Axial view; Image width 240 mm, 1.00 mm slice spacing; Image size 240x240
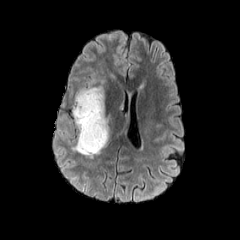
FLAIR MR image.
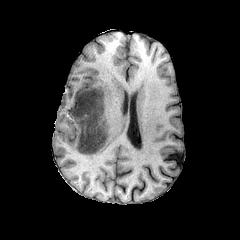
T1-weighted MR.
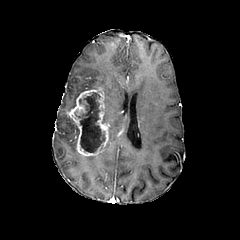
Post-contrast T1-weighted MR image.
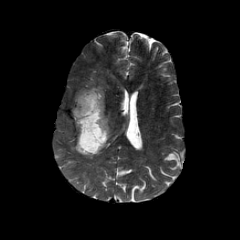
Same slice, T2-weighted MRI.
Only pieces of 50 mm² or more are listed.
peritumoral edema: 71 79 104 108, 104 113 115 141 | necrotic tumor core: 75 92 105 153 | enhancing tumor: 71 86 109 155